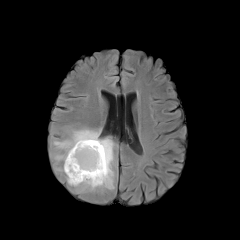
FLAIR MR image.
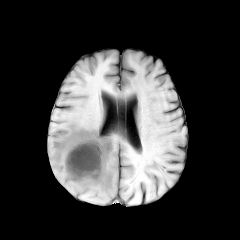
T1-weighted MR image.
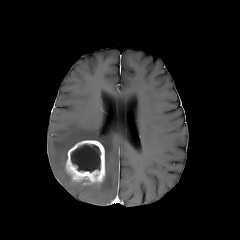
Post-contrast T1-weighted MRI.
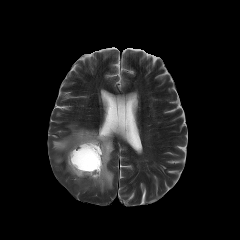
Same slice, T2-weighted MR.
Image size 240x240
* necrotic tumor core: l=71, t=144, r=100, b=172
* enhancing tumor: l=65, t=140, r=105, b=186
* peritumoral edema: l=53, t=128, r=114, b=191